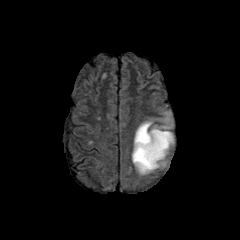
FLAIR MR image.
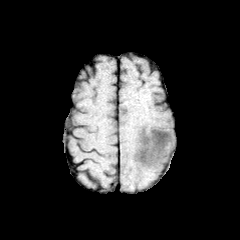
T1-weighted MR of the same slice.
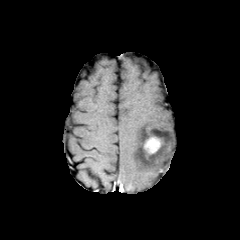
Post-contrast T1-weighted MRI.
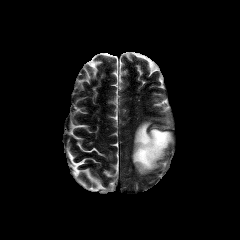
T2-weighted magnetic resonance of the same slice.
Head
enhancing tumor = {"x1": 144, "y1": 136, "x2": 163, "y2": 156}
peritumoral edema = {"x1": 132, "y1": 112, "x2": 174, "y2": 174}